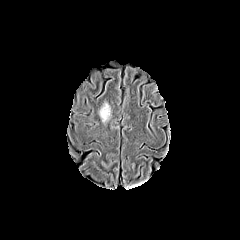
FLAIR MR image.
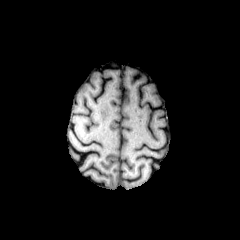
T1-weighted MRI of the same slice.
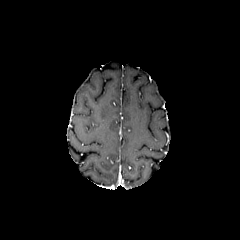
Post-contrast T1-weighted MRI.
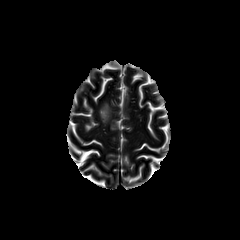
Same slice, T2-weighted MR image.
Axial plane | Brain | 240x240
peritumoral edema at [x1=100, y1=103, x2=110, y2=122]